Image width 240 mm, 1.00 mm slice spacing; Axial slice; Slice index 69
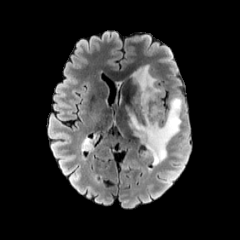
FLAIR magnetic resonance.
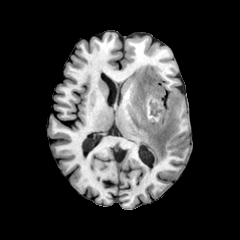
T1-weighted magnetic resonance.
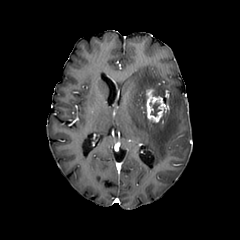
Post-contrast T1-weighted MR.
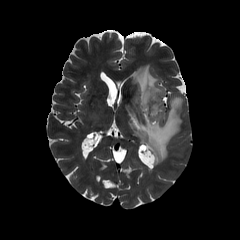
T2-weighted MR image.
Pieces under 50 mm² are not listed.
Annotated regions:
• peritumoral edema: [129,65,182,165]
• necrotic tumor core: [151,103,160,116]
• enhancing tumor: [146,88,165,122]